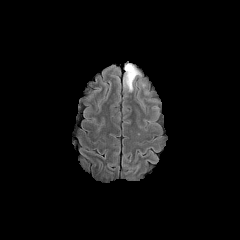
FLAIR MRI.
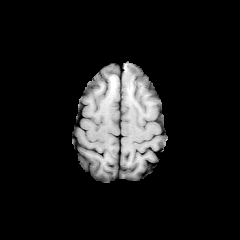
T1-weighted magnetic resonance of the same slice.
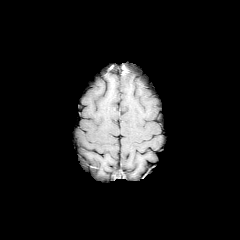
Post-contrast T1-weighted magnetic resonance.
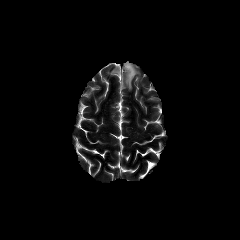
T2-weighted MRI of the same slice.
Head.
peritumoral edema at 123, 63, 140, 91